Brain
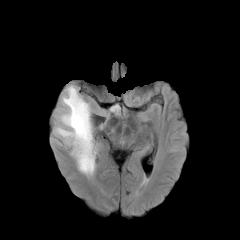
FLAIR MRI.
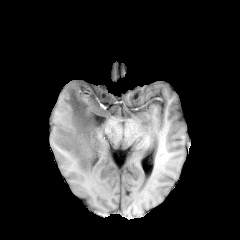
T1-weighted MR of the same slice.
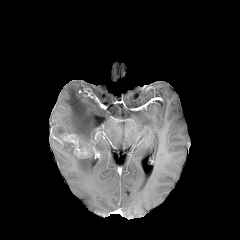
Same slice, post-contrast T1-weighted MR image.
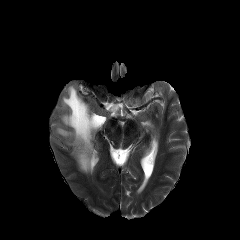
T2-weighted MR of the same slice.
The peritumoral edema is located at rect(54, 85, 95, 176). The enhancing tumor lies within rect(59, 133, 91, 158).